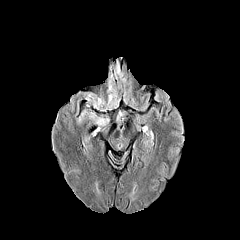
FLAIR MRI.
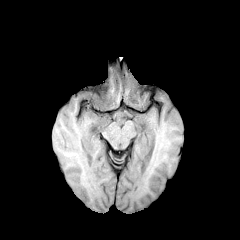
Same slice, T1-weighted magnetic resonance.
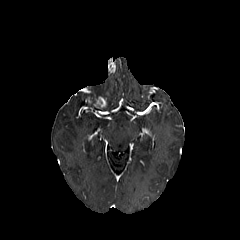
Post-contrast T1-weighted magnetic resonance of the same slice.
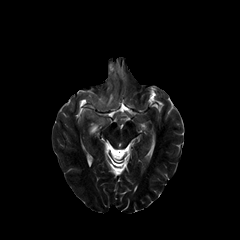
T2-weighted MR.
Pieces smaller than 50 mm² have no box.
enhancing tumor: 93:96:106:108, 108:59:116:73
peritumoral edema: 87:112:108:126, 98:93:118:109, 114:65:122:77